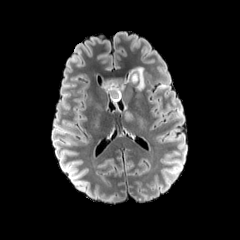
FLAIR MRI.
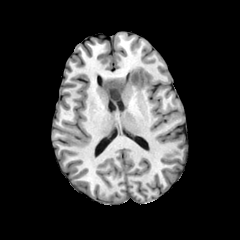
T1-weighted MR.
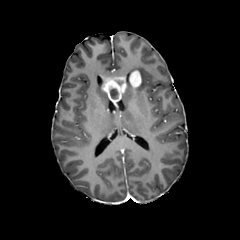
Post-contrast T1-weighted MRI.
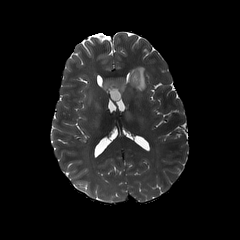
T2-weighted MR image.
Axial slice | Head
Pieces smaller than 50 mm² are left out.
The 2 largest peritumoral edema regions are bounded by x1=126 y1=66 x2=145 y2=90, x1=124 y1=111 x2=132 y2=122. 2 enhancing tumor regions appear at x1=102 y1=76 x2=126 y2=107, x1=130 y1=71 x2=142 y2=88. 2 necrotic tumor core regions are located at x1=110 y1=89 x2=117 y2=98, x1=131 y1=74 x2=138 y2=84.